Axial plane. Head.
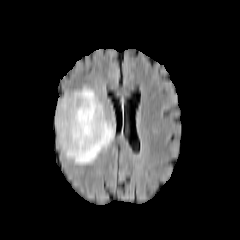
FLAIR MR.
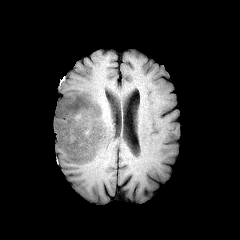
Same slice, T1-weighted magnetic resonance.
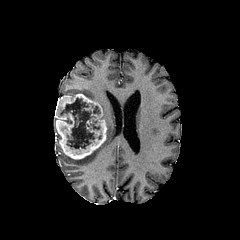
Same slice, post-contrast T1-weighted magnetic resonance.
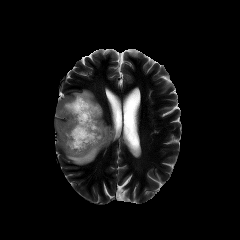
Same slice, T2-weighted MR.
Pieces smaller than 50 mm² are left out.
{
  "enhancing_tumor": [
    "(55, 94, 107, 159)"
  ],
  "necrotic_tumor_core": [
    "(60, 98, 100, 148)"
  ],
  "peritumoral_edema": [
    "(65, 88, 114, 165)"
  ]
}